FLAIR MRI.
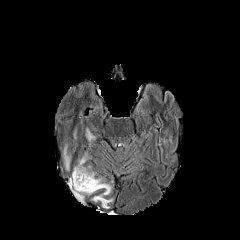
T1-weighted MRI.
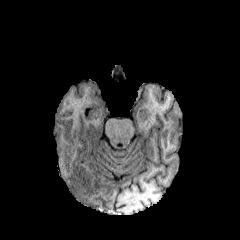
Post-contrast T1-weighted MR.
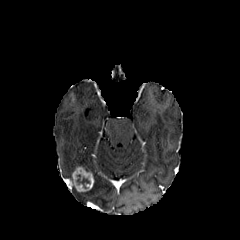
T2-weighted MR image.
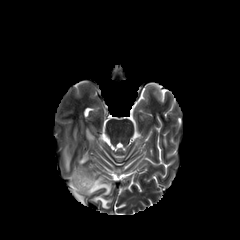
Axial view.
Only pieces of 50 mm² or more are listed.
necrotic tumor core at bbox(77, 174, 89, 188)
peritumoral edema at bbox(77, 153, 87, 166); bbox(63, 145, 70, 170); bbox(86, 129, 94, 141); bbox(71, 177, 112, 208)
enhancing tumor at bbox(68, 166, 94, 191)